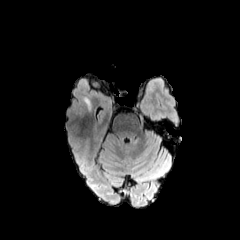
FLAIR magnetic resonance.
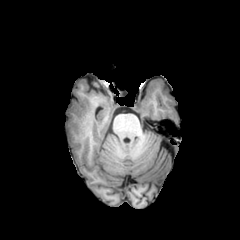
Same slice, T1-weighted MR image.
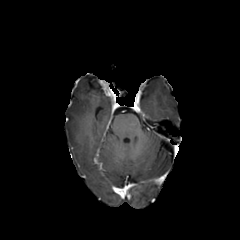
Post-contrast T1-weighted MRI.
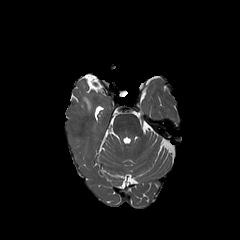
Same slice, T2-weighted magnetic resonance.
Image size 240x240; Head
Findings:
- peritumoral edema: left=82, top=96, right=91, bottom=110